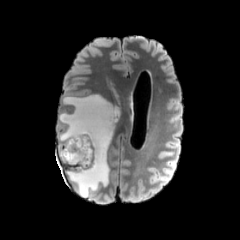
FLAIR MRI.
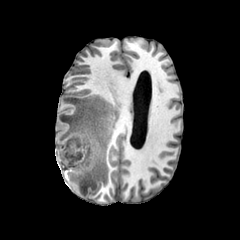
T1-weighted MR.
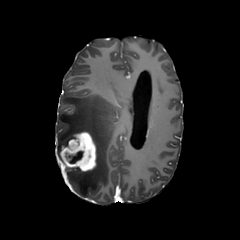
Post-contrast T1-weighted magnetic resonance.
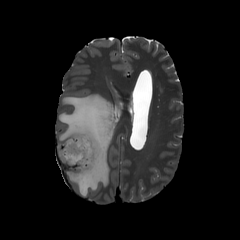
T2-weighted MRI.
Axial slice, 240x240, Brain
enhancing tumor: bounding box [60, 131, 96, 172]
peritumoral edema: bounding box [57, 94, 118, 197]
necrotic tumor core: bounding box [66, 151, 83, 163]